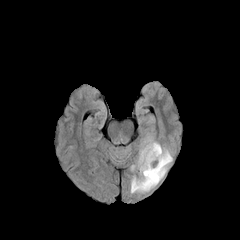
FLAIR MR image.
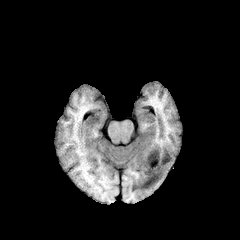
T1-weighted magnetic resonance.
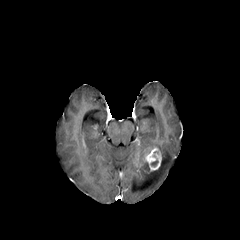
Post-contrast T1-weighted MR image.
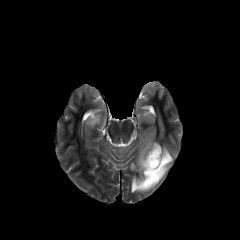
T2-weighted MR.
240x240 | Brain
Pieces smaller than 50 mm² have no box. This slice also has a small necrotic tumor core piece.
enhancing_tumor:
  - [140, 147, 161, 172]
peritumoral_edema:
  - [130, 135, 172, 193]